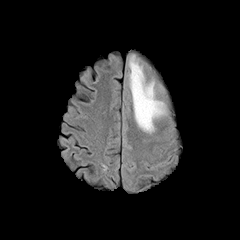
FLAIR MR image.
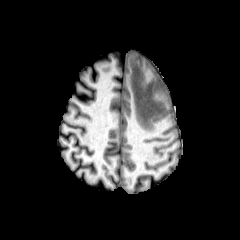
T1-weighted MR of the same slice.
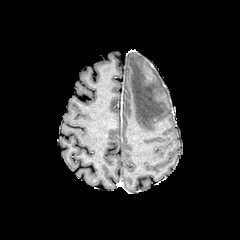
Post-contrast T1-weighted MRI of the same slice.
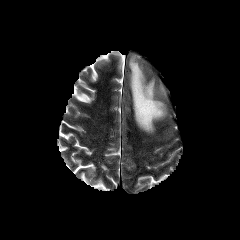
T2-weighted MR image.
Image size 240x240; Axial view; Brain
peritumoral_edema:
  - box=[128, 55, 165, 132]